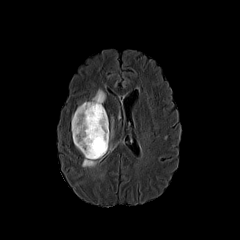
FLAIR magnetic resonance.
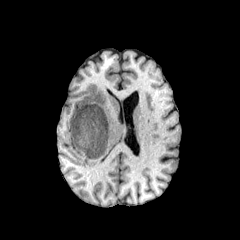
T1-weighted MR image.
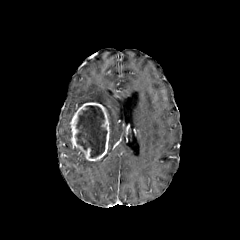
Post-contrast T1-weighted magnetic resonance.
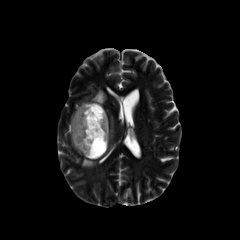
T2-weighted MR.
240x240 px, Axial slice, Head
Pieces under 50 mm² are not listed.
peritumoral edema: 109,118,113,140; 82,158,100,167; 89,89,105,104 | enhancing tumor: 71,102,109,161 | necrotic tumor core: 76,105,107,157